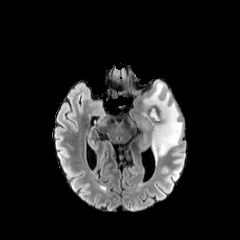
FLAIR MRI.
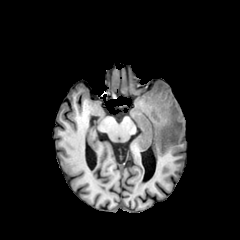
T1-weighted magnetic resonance.
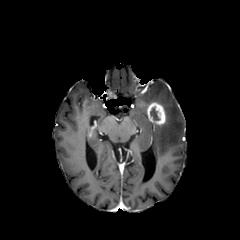
Post-contrast T1-weighted MR image.
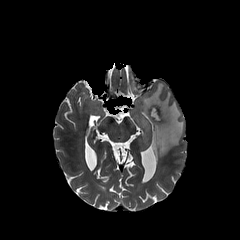
T2-weighted MR image of the same slice.
Axial view | Image size 240x240
peritumoral edema — 141:79:183:159
enhancing tumor — 146:101:166:125
necrotic tumor core — 150:107:159:120